Slice index 66 | Axial plane
FLAIR MR.
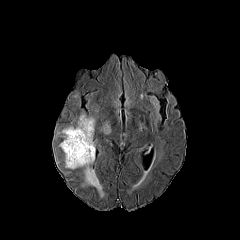
T1-weighted MR image.
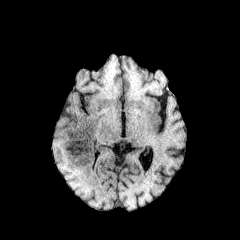
Post-contrast T1-weighted MR.
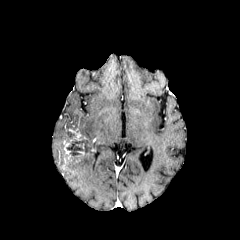
T2-weighted magnetic resonance.
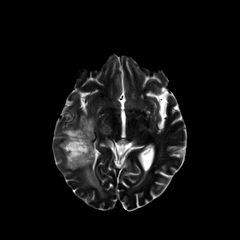
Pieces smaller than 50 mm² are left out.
enhancing_tumor:
  - rect(63, 129, 86, 160)
necrotic_tumor_core:
  - rect(66, 139, 92, 163)
peritumoral_edema:
  - rect(57, 114, 94, 148)
  - rect(101, 124, 110, 133)
  - rect(65, 152, 104, 197)